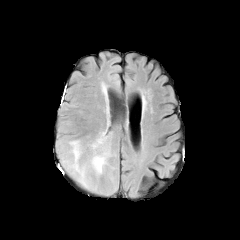
FLAIR MRI.
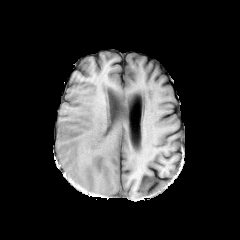
T1-weighted MR image.
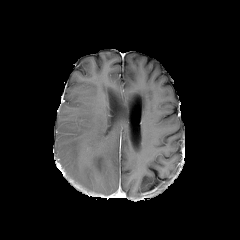
Post-contrast T1-weighted MR.
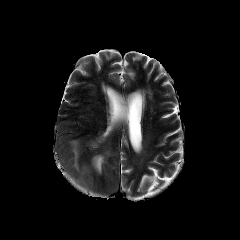
T2-weighted MR image.
3 peritumoral edema regions appear at box=[91, 152, 108, 173]; box=[70, 141, 85, 185]; box=[90, 137, 102, 149].